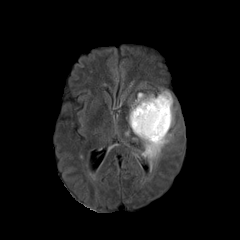
FLAIR MRI.
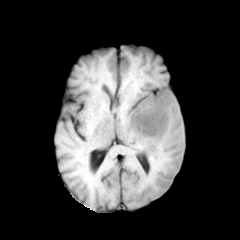
Same slice, T1-weighted magnetic resonance.
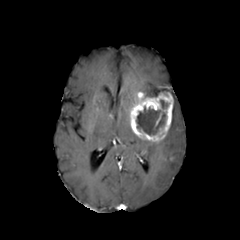
Post-contrast T1-weighted MR image of the same slice.
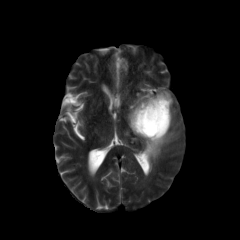
T2-weighted magnetic resonance of the same slice.
Brain
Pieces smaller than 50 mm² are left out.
Segmented structures:
* necrotic tumor core: (left=160, top=100, right=168, bottom=109), (left=136, top=107, right=166, bottom=135)
* enhancing tumor: (left=129, top=92, right=173, bottom=142)
* peritumoral edema: (left=140, top=108, right=175, bottom=170)